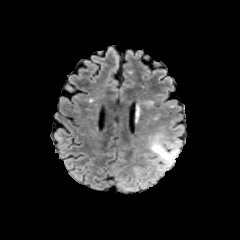
FLAIR magnetic resonance.
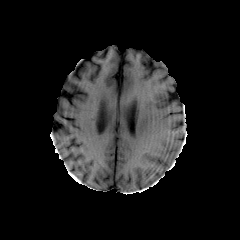
T1-weighted magnetic resonance.
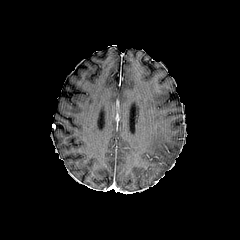
Post-contrast T1-weighted magnetic resonance.
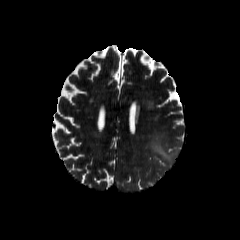
T2-weighted MR image.
Axial slice
peritumoral edema — [x1=149, y1=134, x2=179, y2=170]